Slice 60 of 155; Image width 240 mm, 1.00 mm slice spacing; Head
FLAIR MRI.
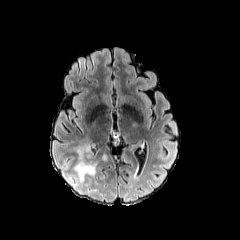
T1-weighted MR.
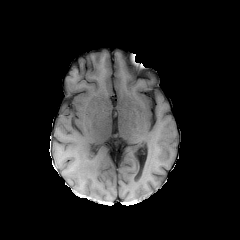
Post-contrast T1-weighted MRI.
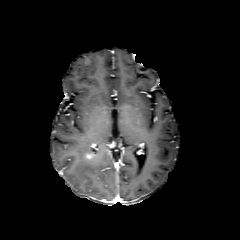
T2-weighted MR image.
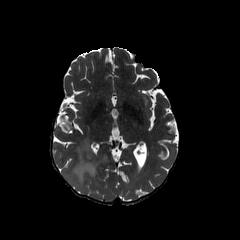
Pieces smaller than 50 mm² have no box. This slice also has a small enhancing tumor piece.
The peritumoral edema appears at x1=75, y1=138, x2=108, y2=182.